FLAIR MR.
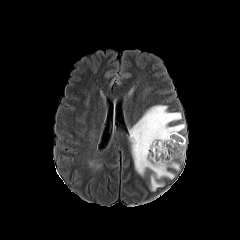
T1-weighted MRI.
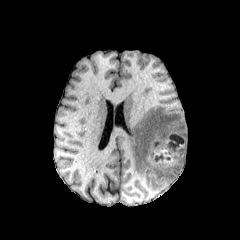
Post-contrast T1-weighted magnetic resonance.
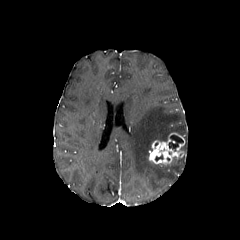
T2-weighted MR.
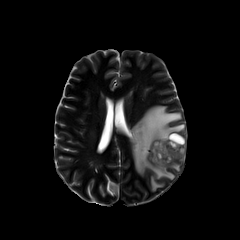
Image size 240x240. Brain. Axial plane.
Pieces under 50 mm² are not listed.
peritumoral edema at [x1=129, y1=105, x2=185, y2=191]
enhancing tumor at [x1=148, y1=133, x2=185, y2=165]
necrotic tumor core at [x1=169, y1=135, x2=183, y2=150]